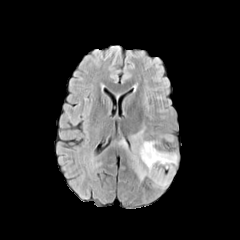
FLAIR magnetic resonance.
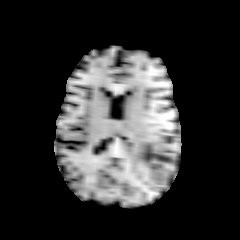
Same slice, T1-weighted MR.
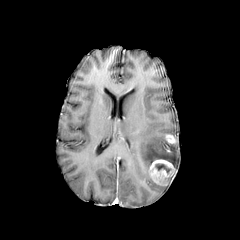
Same slice, post-contrast T1-weighted MR.
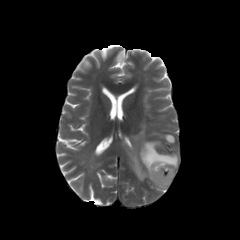
T2-weighted MR image.
Axial plane | Brain
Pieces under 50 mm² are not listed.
The largest peritumoral edema region lies within l=129, t=125, r=177, b=180. 2 enhancing tumor regions are bounded by l=165, t=134, r=175, b=143; l=149, t=159, r=175, b=185. The largest necrotic tumor core region appears at l=155, t=164, r=170, b=172.